FLAIR MRI.
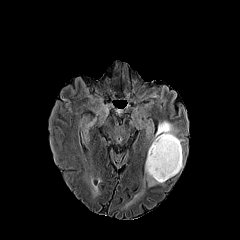
T1-weighted MRI.
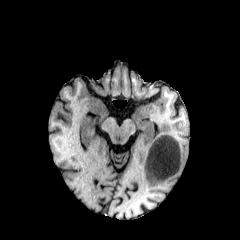
Post-contrast T1-weighted MR image.
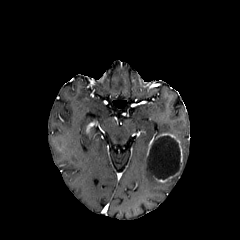
T2-weighted MR image.
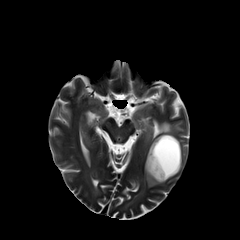
240x240 px. Head.
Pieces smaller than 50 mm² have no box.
necrotic tumor core: [x1=147, y1=135, x2=181, y2=179] | enhancing tumor: [x1=153, y1=176, x2=173, y2=182], [x1=156, y1=133, x2=182, y2=162] | peritumoral edema: [x1=156, y1=121, x2=175, y2=135], [x1=145, y1=160, x2=159, y2=186]